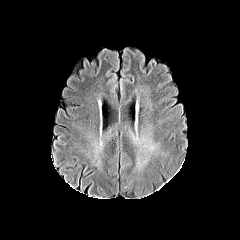
FLAIR magnetic resonance.
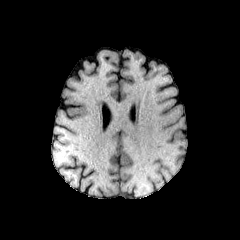
T1-weighted magnetic resonance.
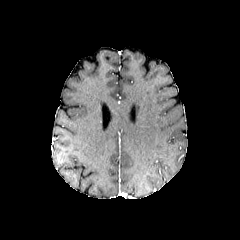
Post-contrast T1-weighted MR.
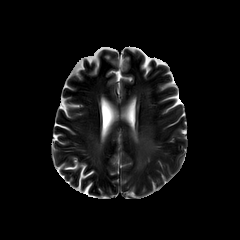
T2-weighted MR image.
Axial view
peritumoral edema: (142, 141, 156, 151), (137, 156, 148, 169)